FLAIR MR image.
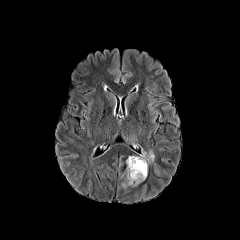
T1-weighted MRI.
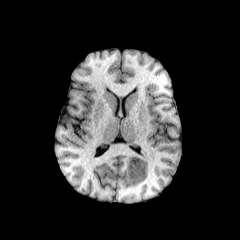
Post-contrast T1-weighted MR image.
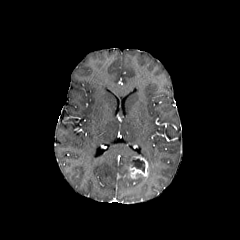
T2-weighted magnetic resonance.
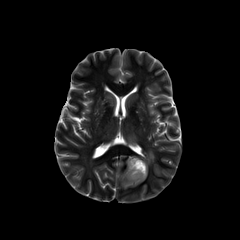
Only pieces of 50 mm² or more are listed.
necrotic tumor core: [132, 158, 144, 172] | peritumoral edema: [127, 175, 144, 185], [140, 150, 154, 163], [128, 136, 135, 142] | enhancing tumor: [127, 156, 148, 179]